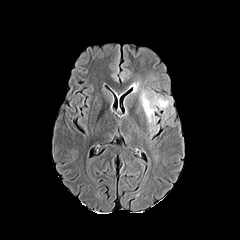
FLAIR MR image.
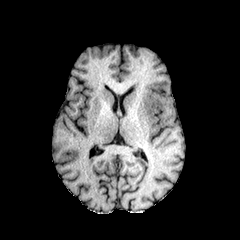
T1-weighted MR image.
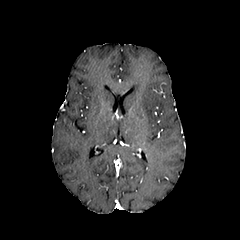
Post-contrast T1-weighted MR image.
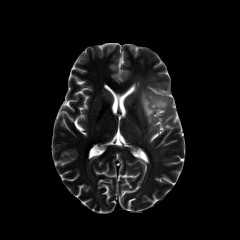
T2-weighted MR image.
240x240 px, Axial plane
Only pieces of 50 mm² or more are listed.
peritumoral edema = box(141, 91, 168, 123)